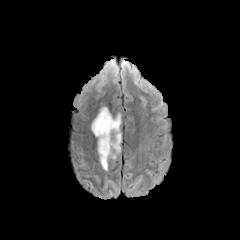
FLAIR magnetic resonance.
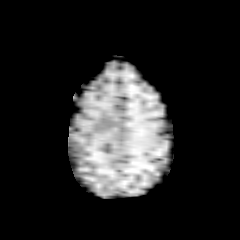
Same slice, T1-weighted MR.
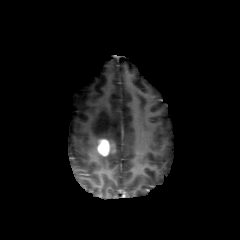
Post-contrast T1-weighted magnetic resonance of the same slice.
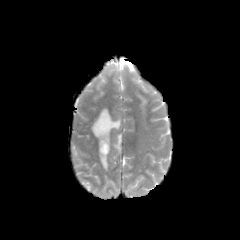
T2-weighted MR image.
Brain; Axial view
enhancing_tumor:
  - 97, 139, 114, 155
peritumoral_edema:
  - 99, 152, 115, 170
  - 91, 107, 121, 153